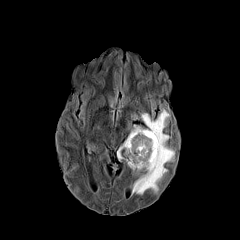
FLAIR magnetic resonance.
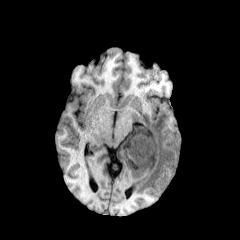
T1-weighted MR image of the same slice.
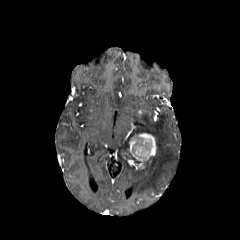
Post-contrast T1-weighted MRI.
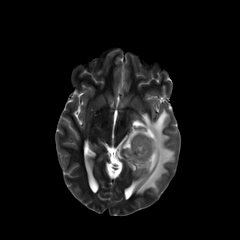
Same slice, T2-weighted MR.
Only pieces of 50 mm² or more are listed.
Findings:
• peritumoral edema: box=[117, 108, 174, 194]
• enhancing tumor: box=[128, 133, 156, 168]